Image size 240x240 | Axial plane
FLAIR MR.
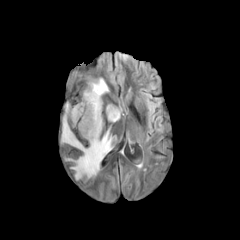
T1-weighted magnetic resonance.
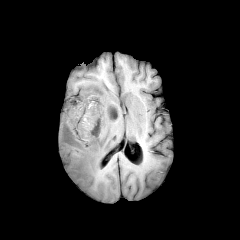
Post-contrast T1-weighted MR.
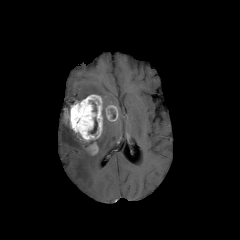
T2-weighted magnetic resonance.
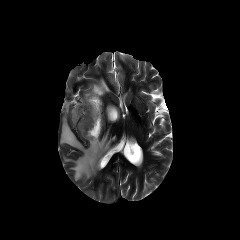
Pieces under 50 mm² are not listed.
The largest necrotic tumor core region appears at (left=90, top=118, right=97, bottom=134). The 2 largest peritumoral edema regions are bounded by (left=83, top=78, right=109, bottom=98), (left=61, top=117, right=112, bottom=179). 2 enhancing tumor regions are located at (left=105, top=105, right=118, bottom=121), (left=64, top=94, right=102, bottom=154).